FLAIR MRI.
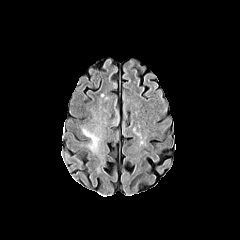
T1-weighted MR image.
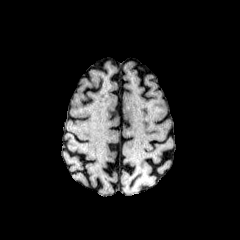
Post-contrast T1-weighted MR image.
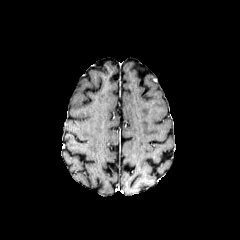
T2-weighted MRI.
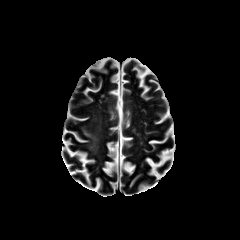
Axial slice, Head
The peritumoral edema appears at [x1=83, y1=130, x2=97, y2=148].